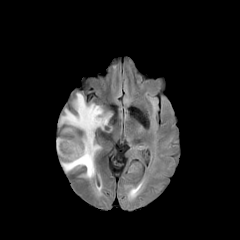
FLAIR magnetic resonance.
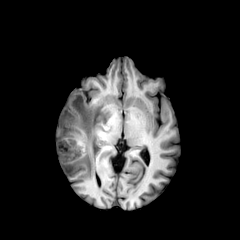
T1-weighted MR.
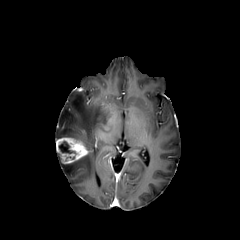
Same slice, post-contrast T1-weighted magnetic resonance.
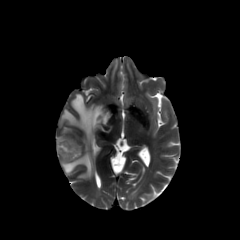
T2-weighted MRI.
240x240 px
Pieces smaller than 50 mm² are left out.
necrotic tumor core: bounding box [59,141,75,153]
peritumoral edema: bounding box [59,93,110,179]
enhancing tumor: bounding box [56,137,88,163]